FLAIR MRI.
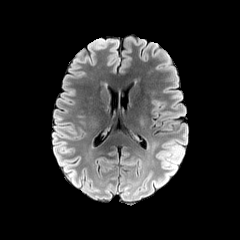
T1-weighted MR image.
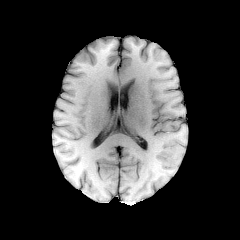
Post-contrast T1-weighted MR.
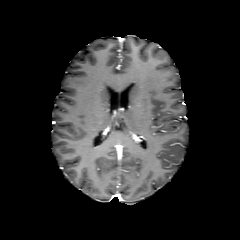
T2-weighted magnetic resonance.
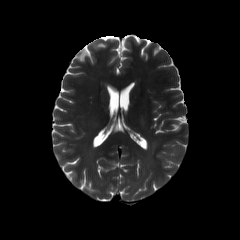
240x240. Axial slice. Head.
peritumoral edema: bounding box region(156, 140, 184, 186)